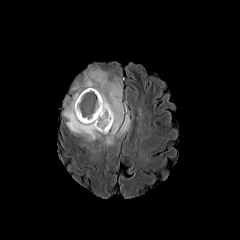
FLAIR magnetic resonance.
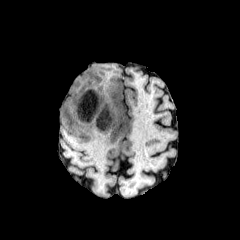
T1-weighted MR.
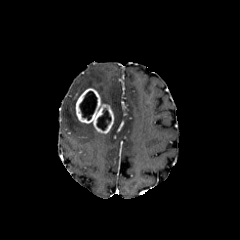
Post-contrast T1-weighted magnetic resonance.
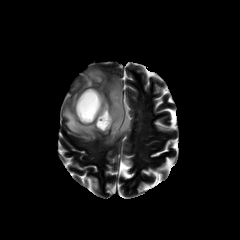
Same slice, T2-weighted magnetic resonance.
Axial plane | Brain
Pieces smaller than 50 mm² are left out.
peritumoral edema — box=[63, 66, 131, 145]
necrotic tumor core — box=[97, 109, 111, 130]; box=[79, 91, 96, 120]
enhancing tumor — box=[75, 88, 114, 133]